Axial slice.
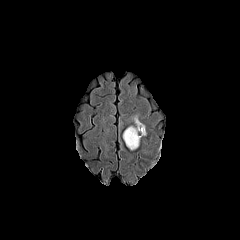
FLAIR MR image.
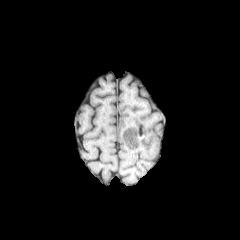
Same slice, T1-weighted MR image.
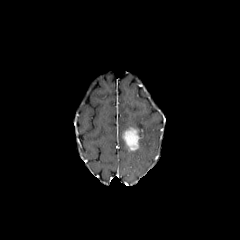
Post-contrast T1-weighted MR.
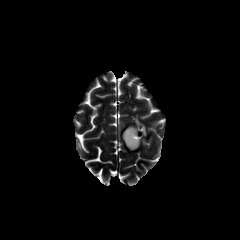
T2-weighted magnetic resonance.
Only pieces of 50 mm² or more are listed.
Annotated regions:
* peritumoral edema: x1=134, y1=125, x2=146, y2=138
* enhancing tumor: x1=122, y1=127, x2=142, y2=150